FLAIR MRI.
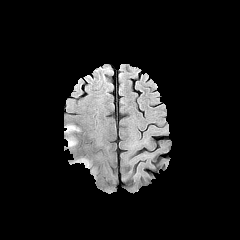
T1-weighted MR.
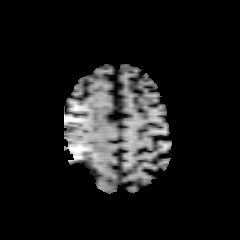
Post-contrast T1-weighted MRI.
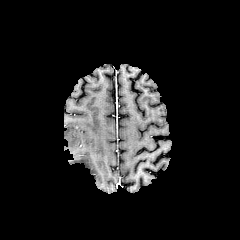
T2-weighted magnetic resonance.
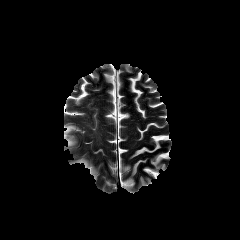
Brain
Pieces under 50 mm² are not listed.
{
  "peritumoral_edema": [
    "rect(66, 137, 76, 147)",
    "rect(64, 125, 79, 133)",
    "rect(75, 158, 91, 168)"
  ]
}